FLAIR MR.
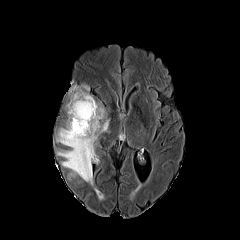
T1-weighted magnetic resonance.
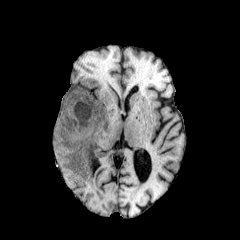
Post-contrast T1-weighted MR.
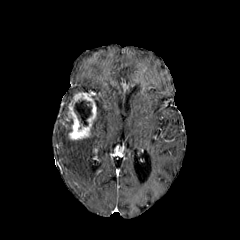
T2-weighted MRI.
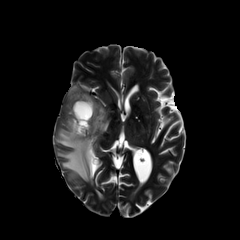
Brain; Axial plane
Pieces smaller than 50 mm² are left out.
enhancing tumor — <bbox>66, 92, 96, 140</bbox>
peritumoral edema — <bbox>68, 86, 83, 101</bbox>, <bbox>56, 101, 108, 183</bbox>
necrotic tumor core — <bbox>74, 100, 91, 132</bbox>